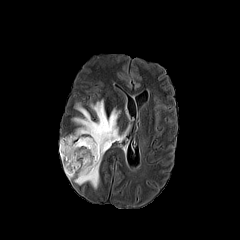
FLAIR MR.
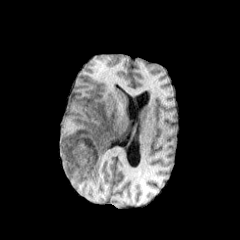
T1-weighted magnetic resonance.
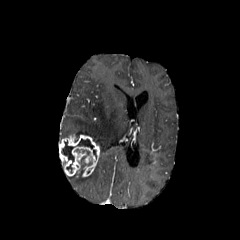
Post-contrast T1-weighted magnetic resonance of the same slice.
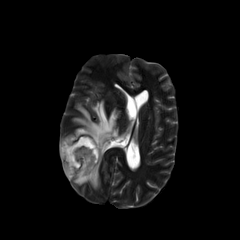
T2-weighted MR.
Brain | Image size 240x240
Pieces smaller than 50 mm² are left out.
necrotic tumor core = [80, 150, 89, 173], [62, 142, 74, 161], [77, 139, 96, 158]
enhancing tumor = [59, 134, 100, 176]
peritumoral edema = [68, 97, 131, 188]